Slice 99 of 155
FLAIR MRI.
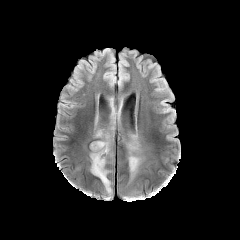
T1-weighted magnetic resonance.
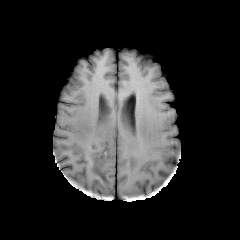
Post-contrast T1-weighted magnetic resonance.
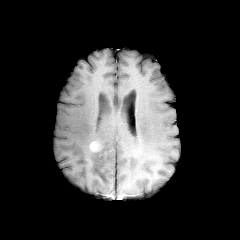
T2-weighted MRI.
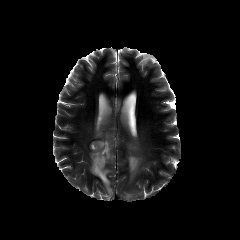
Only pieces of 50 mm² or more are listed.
The enhancing tumor is at rect(90, 141, 101, 151). The 2 largest peritumoral edema regions appear at rect(127, 142, 141, 179); rect(90, 129, 113, 193).